FLAIR MR.
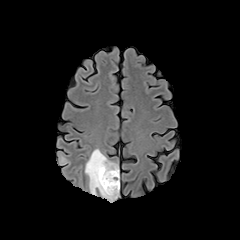
T1-weighted MR image.
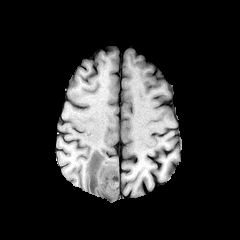
Post-contrast T1-weighted MR image.
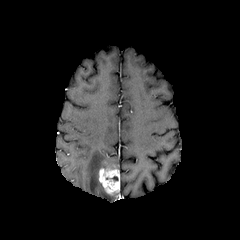
T2-weighted MR.
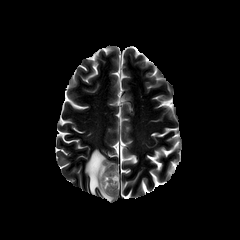
Axial slice | Head
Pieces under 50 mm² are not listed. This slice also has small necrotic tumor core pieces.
enhancing_tumor:
  - 99, 165, 117, 196
peritumoral_edema:
  - 85, 149, 117, 199